FLAIR MR.
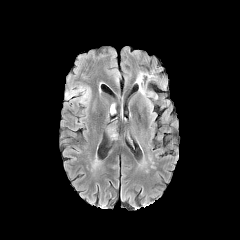
T1-weighted MRI.
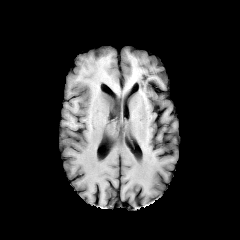
Post-contrast T1-weighted MR.
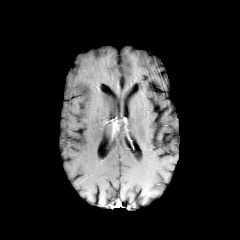
T2-weighted MR image.
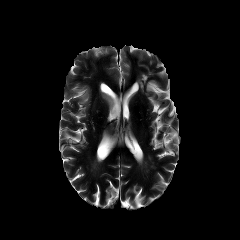
Image size 240x240. Brain. Axial slice.
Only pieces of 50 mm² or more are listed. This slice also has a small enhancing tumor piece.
peritumoral edema: (77, 88, 89, 103)